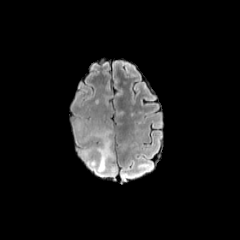
FLAIR MR image.
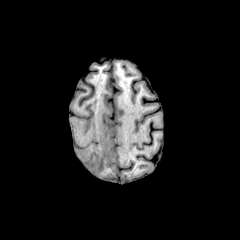
Same slice, T1-weighted MR image.
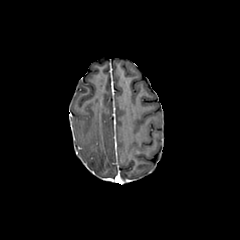
Post-contrast T1-weighted magnetic resonance.
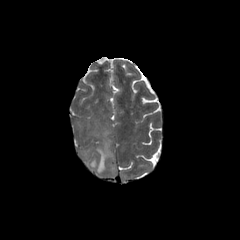
T2-weighted MR.
The peritumoral edema lies within [82, 129, 115, 176].